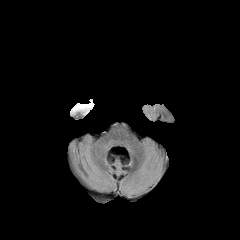
FLAIR MRI.
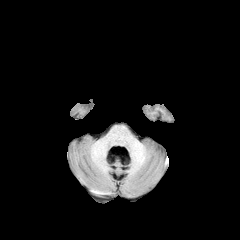
T1-weighted MR.
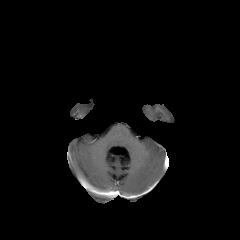
Post-contrast T1-weighted MRI.
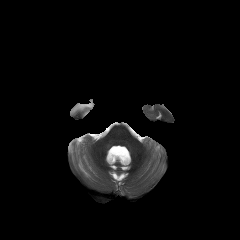
Same slice, T2-weighted magnetic resonance.
Head; Axial view; 240x240 px
The peritumoral edema appears at [x1=70, y1=100, x2=93, y2=114].